Axial plane; 240x240 px; Slice 73/155; Brain; Image width 240 mm
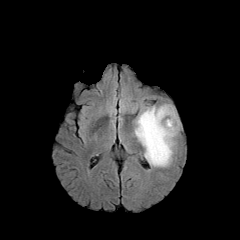
FLAIR MRI.
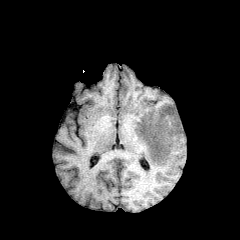
T1-weighted magnetic resonance.
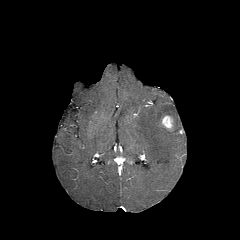
Post-contrast T1-weighted magnetic resonance.
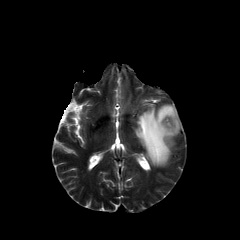
T2-weighted magnetic resonance of the same slice.
<segmentation>
  <peritumoral_edema>134 104 180 167</peritumoral_edema>
  <enhancing_tumor>161 115 174 131</enhancing_tumor>
</segmentation>